FLAIR magnetic resonance.
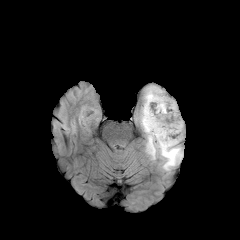
T1-weighted MR.
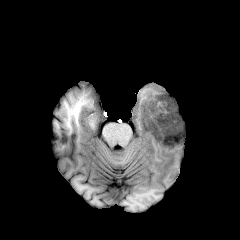
Post-contrast T1-weighted MR.
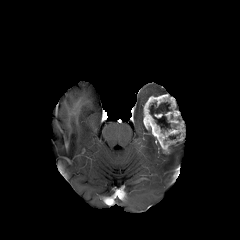
T2-weighted MR.
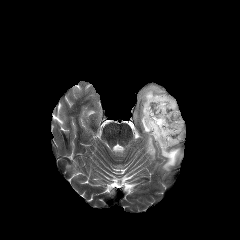
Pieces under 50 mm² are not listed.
peritumoral edema — (143, 85, 164, 103), (140, 107, 183, 170)
necrotic tumor core — (150, 102, 171, 129)
enhancing tumor — (143, 94, 185, 153)